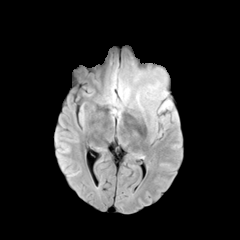
FLAIR MR image.
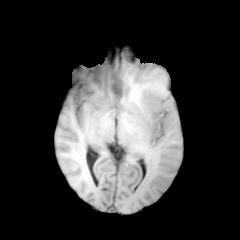
T1-weighted MR.
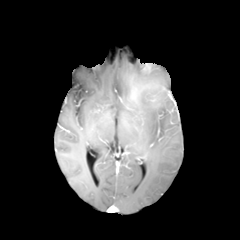
Post-contrast T1-weighted magnetic resonance.
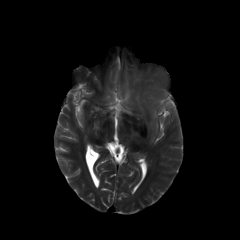
T2-weighted MR image of the same slice.
Image size 240x240; Axial view
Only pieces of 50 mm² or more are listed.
The largest peritumoral edema region lies within bbox=[161, 99, 171, 110].